FLAIR MR image.
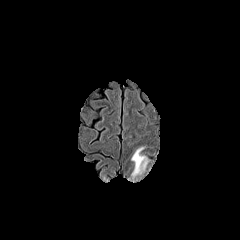
T1-weighted MR image.
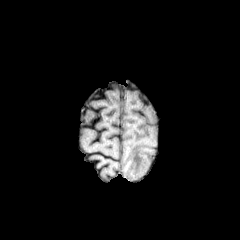
Post-contrast T1-weighted MR.
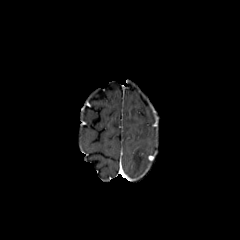
T2-weighted MR image.
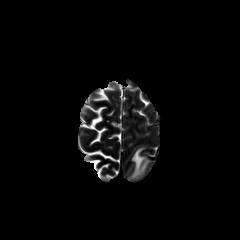
Head
<segmentation>
  <peritumoral_edema>l=132, t=147, r=147, b=177</peritumoral_edema>
</segmentation>